FLAIR MR.
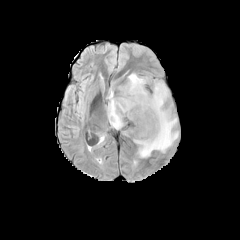
T1-weighted MR.
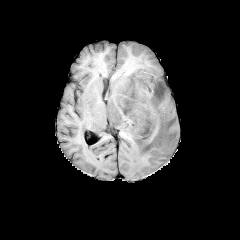
Post-contrast T1-weighted MRI.
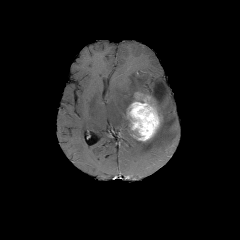
T2-weighted magnetic resonance.
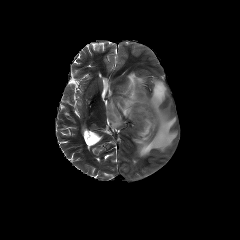
Head | Image size 240x240 | Axial plane
peritumoral edema: (left=107, top=73, right=148, bottom=129), (left=133, top=79, right=178, bottom=157) | enhancing tumor: (left=126, top=92, right=162, bottom=141)